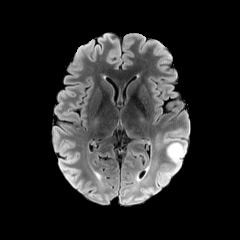
FLAIR magnetic resonance.
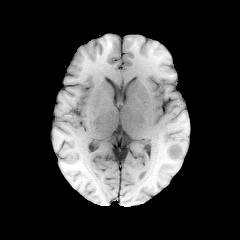
Same slice, T1-weighted MRI.
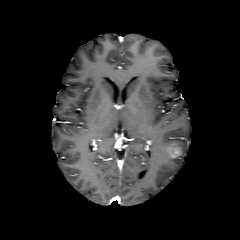
Same slice, post-contrast T1-weighted magnetic resonance.
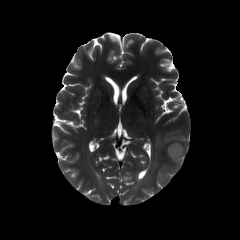
T2-weighted magnetic resonance.
Head; 240x240 px
enhancing tumor = [x1=166, y1=142, x2=183, y2=159]
peritumoral edema = [x1=157, y1=134, x2=187, y2=186]